FLAIR MR.
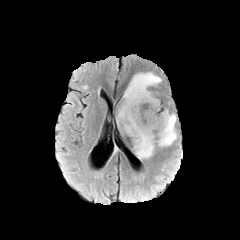
T1-weighted MR image.
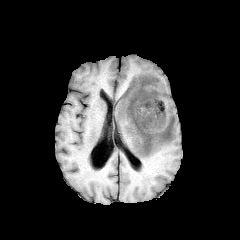
Post-contrast T1-weighted magnetic resonance.
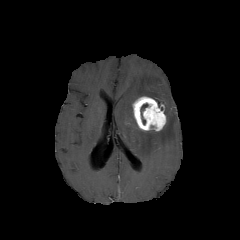
T2-weighted MR.
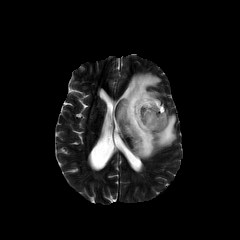
Head
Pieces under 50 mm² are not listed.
peritumoral edema: bounding box region(116, 72, 177, 159)
enhancing tumor: bounding box region(132, 96, 166, 131)
necrotic tumor core: bounding box region(141, 103, 148, 124)